FLAIR MR image.
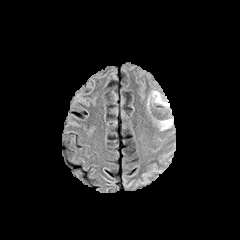
T1-weighted MRI.
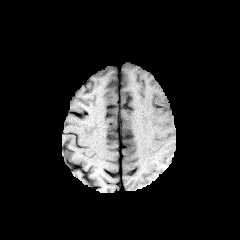
Post-contrast T1-weighted MR image.
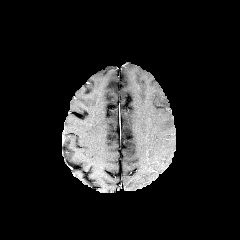
T2-weighted MRI.
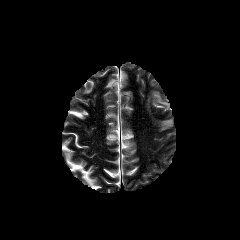
Axial slice | Brain
Findings:
* peritumoral edema: box=[145, 90, 172, 131]